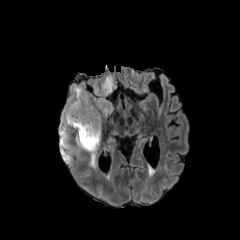
FLAIR magnetic resonance.
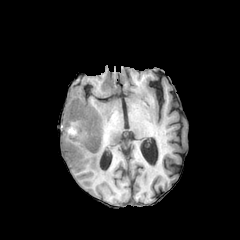
Same slice, T1-weighted MRI.
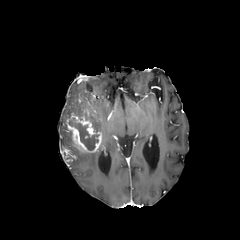
Post-contrast T1-weighted MR image.
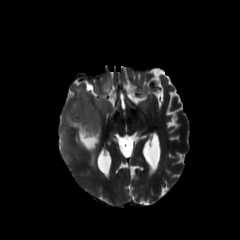
Same slice, T2-weighted MRI.
240x240 px, Brain
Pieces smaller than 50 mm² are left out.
enhancing tumor = l=59, t=95, r=102, b=163
peritumoral edema = l=108, t=130, r=117, b=147; l=59, t=75, r=117, b=135; l=88, t=148, r=101, b=170
necrotic tumor core = l=85, t=113, r=99, b=131; l=68, t=121, r=98, b=150